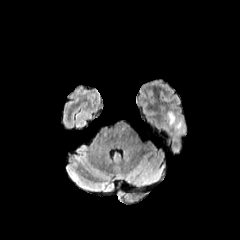
FLAIR MR.
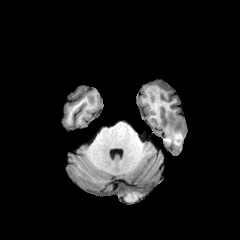
T1-weighted magnetic resonance.
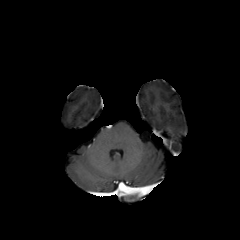
Same slice, post-contrast T1-weighted MRI.
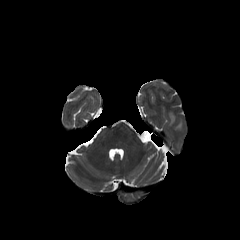
Same slice, T2-weighted magnetic resonance.
Brain
The peritumoral edema is at [168, 111, 183, 130].